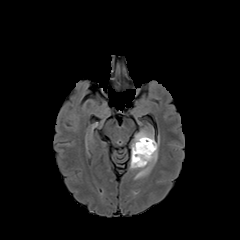
FLAIR MR.
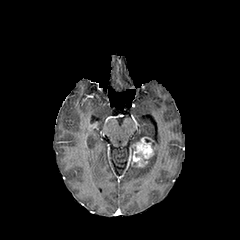
Same slice, T1-weighted MR image.
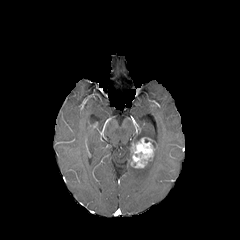
Post-contrast T1-weighted MR image of the same slice.
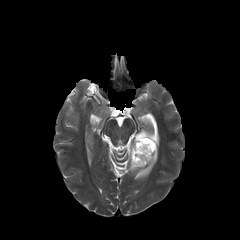
T2-weighted magnetic resonance.
Axial plane | 240x240
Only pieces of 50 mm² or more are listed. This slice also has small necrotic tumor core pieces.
Annotated regions:
- enhancing tumor: 131, 137, 155, 167
- peritumoral edema: 134, 128, 159, 179